Head. Image width 240 mm.
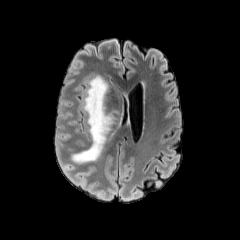
FLAIR magnetic resonance.
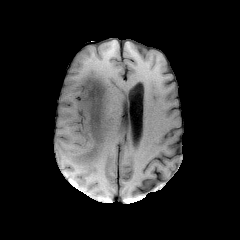
T1-weighted MR image.
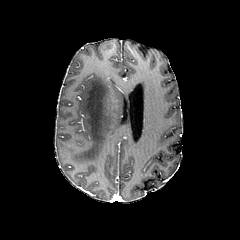
Post-contrast T1-weighted magnetic resonance.
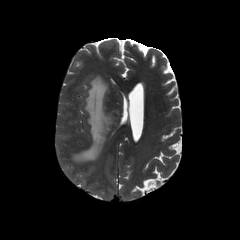
T2-weighted MRI.
peritumoral_edema:
  - (71,75,114,163)